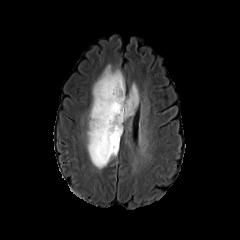
FLAIR magnetic resonance.
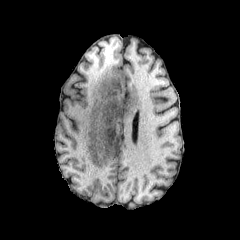
T1-weighted MRI.
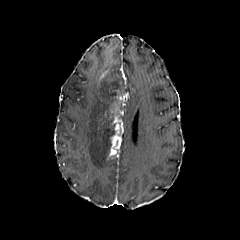
Same slice, post-contrast T1-weighted MR image.
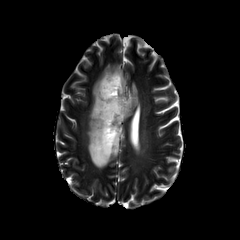
Same slice, T2-weighted MR.
Axial slice
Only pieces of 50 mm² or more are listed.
{
  "peritumoral_edema": [
    "(122, 83, 139, 121)",
    "(87, 64, 125, 169)"
  ],
  "necrotic_tumor_core": [
    "(110, 124, 118, 135)",
    "(113, 80, 122, 99)"
  ],
  "enhancing_tumor": [
    "(107, 90, 125, 158)"
  ]
}